FLAIR MR.
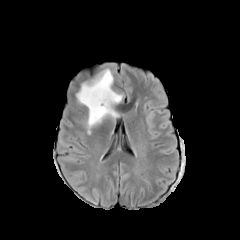
T1-weighted MR image.
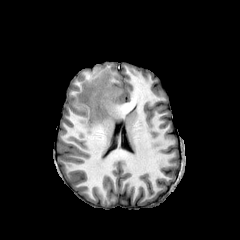
Post-contrast T1-weighted MR.
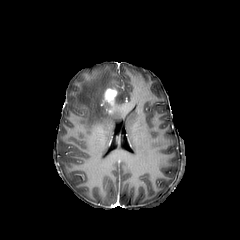
T2-weighted MR image.
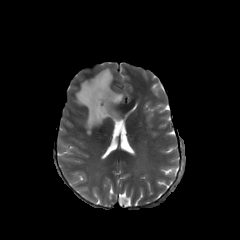
Axial plane. Head.
{"peritumoral_edema": ["box=[116, 94, 122, 104]", "box=[76, 68, 119, 132]"], "enhancing_tumor": ["box=[101, 88, 117, 112]"]}